Axial plane | Slice 75/155 | Image covers 240 mm x 240 mm | 240x240
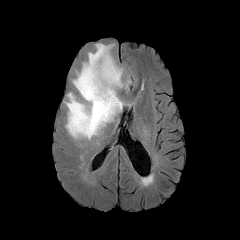
FLAIR MR image.
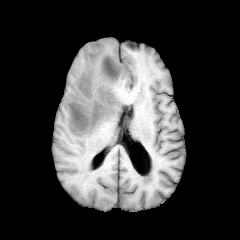
T1-weighted magnetic resonance of the same slice.
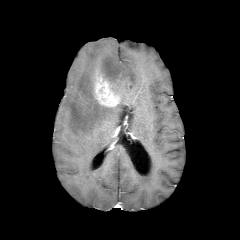
Post-contrast T1-weighted MR of the same slice.
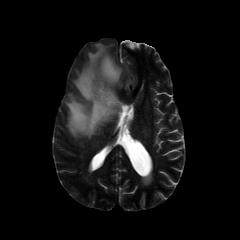
T2-weighted magnetic resonance.
{"enhancing_tumor": ["rect(93, 75, 119, 107)"], "peritumoral_edema": ["rect(65, 43, 124, 139)"]}